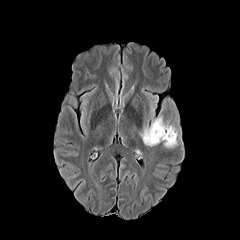
FLAIR MRI.
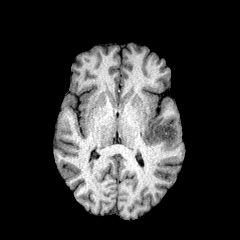
Same slice, T1-weighted MR.
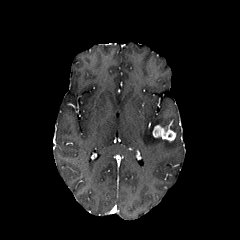
Post-contrast T1-weighted magnetic resonance.
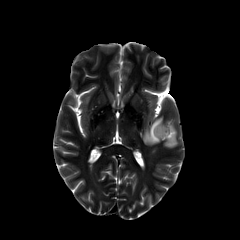
T2-weighted magnetic resonance.
Axial plane; Head
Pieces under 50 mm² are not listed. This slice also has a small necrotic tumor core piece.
{
  "peritumoral_edema": [
    "163,138,177,148",
    "140,117,165,146"
  ],
  "enhancing_tumor": [
    "152,125,176,141"
  ]
}